Head
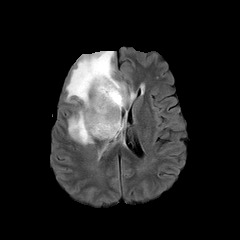
FLAIR MRI.
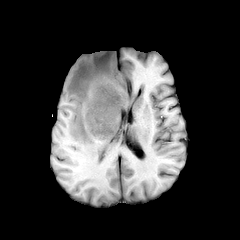
T1-weighted magnetic resonance.
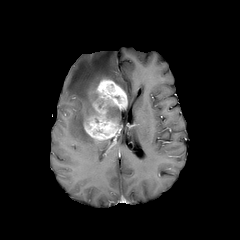
Post-contrast T1-weighted MR image.
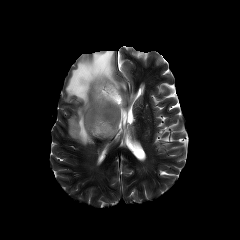
T2-weighted MR of the same slice.
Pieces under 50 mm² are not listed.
The largest necrotic tumor core region lies within region(107, 107, 120, 120). The largest peritumoral edema region is bounded by region(66, 51, 126, 144). The enhancing tumor is at region(83, 79, 127, 140).